Slice 48 of 155 | Image size 240x240 | Head | Axial plane
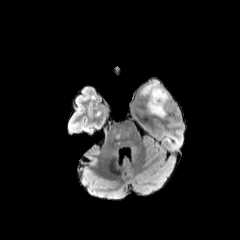
FLAIR MR image.
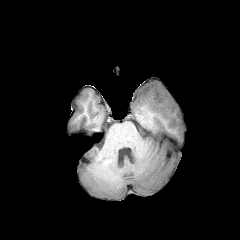
T1-weighted magnetic resonance of the same slice.
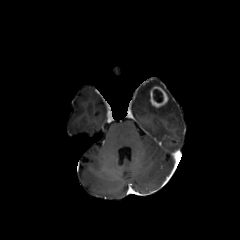
Post-contrast T1-weighted magnetic resonance.
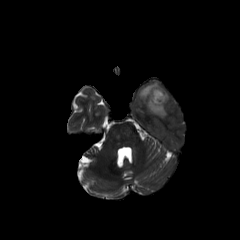
T2-weighted MRI.
The peritumoral edema is at (left=140, top=80, right=170, bottom=117). The enhancing tumor is bounded by (left=149, top=85, right=168, bottom=107). The necrotic tumor core is bounded by (left=153, top=89, right=162, bottom=102).